FLAIR magnetic resonance.
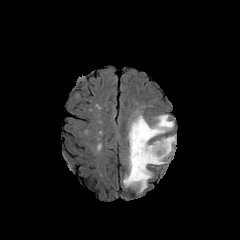
T1-weighted MR image.
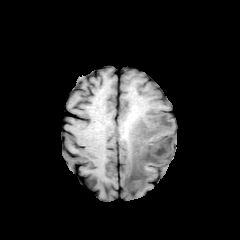
Post-contrast T1-weighted MR image.
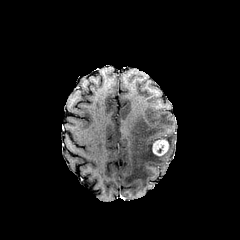
T2-weighted MR.
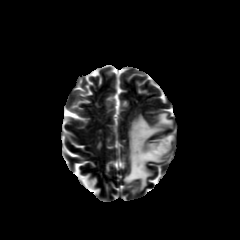
Head
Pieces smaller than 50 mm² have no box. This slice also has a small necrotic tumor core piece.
Findings:
• peritumoral edema: [123,114,175,191]
• enhancing tumor: [152,139,169,155]